FLAIR MR image.
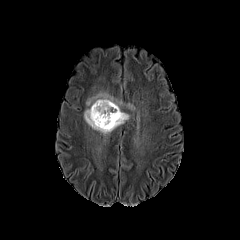
T1-weighted magnetic resonance.
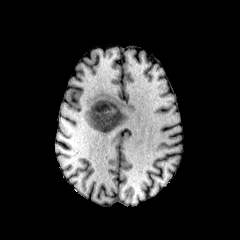
Post-contrast T1-weighted MRI.
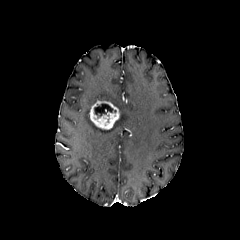
T2-weighted magnetic resonance.
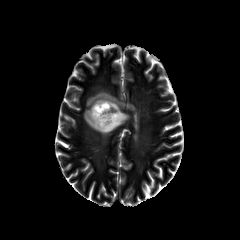
240x240 px. Head. Axial view.
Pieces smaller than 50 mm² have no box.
enhancing tumor — [89,100,120,129]
necrotic tumor core — [94,103,115,116]
peritumoral edema — [84,91,129,135]